Head
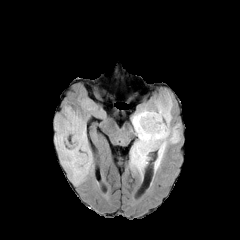
FLAIR MR.
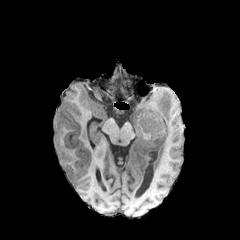
T1-weighted MRI of the same slice.
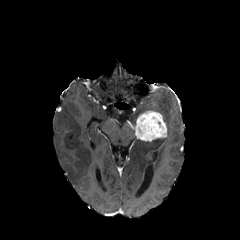
Post-contrast T1-weighted MR image.
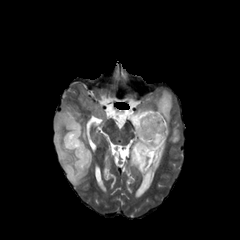
T2-weighted magnetic resonance of the same slice.
peritumoral edema: x1=54 y1=105 x2=92 y2=184, x1=129 y1=91 x2=179 y2=178
enhancing tumor: x1=132 y1=110 x2=166 y2=141